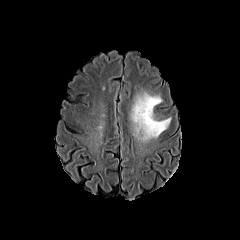
FLAIR magnetic resonance.
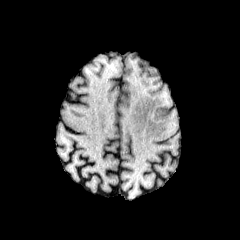
T1-weighted magnetic resonance.
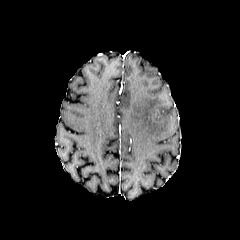
Post-contrast T1-weighted MRI of the same slice.
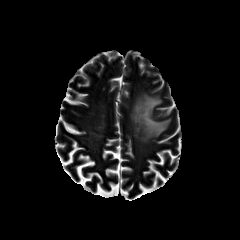
T2-weighted MRI of the same slice.
240x240 px | Brain
peritumoral edema = left=130, top=92, right=170, bottom=141